FLAIR MR image.
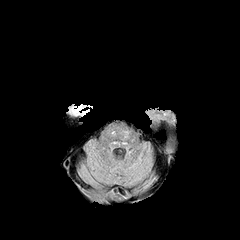
T1-weighted magnetic resonance.
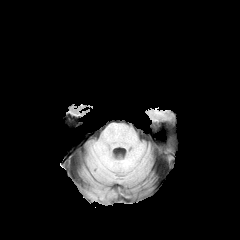
Post-contrast T1-weighted MR.
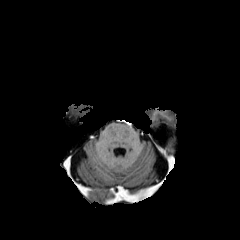
T2-weighted MRI.
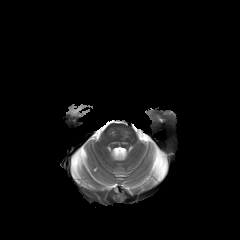
Axial slice; Head
peritumoral edema at (68, 105, 86, 117)